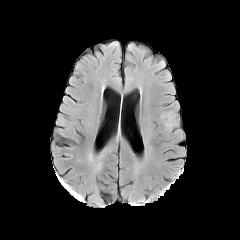
FLAIR magnetic resonance.
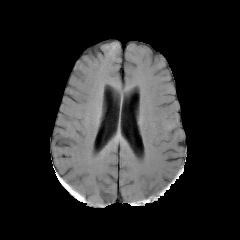
T1-weighted magnetic resonance of the same slice.
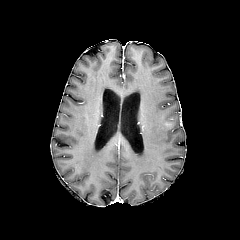
Post-contrast T1-weighted magnetic resonance.
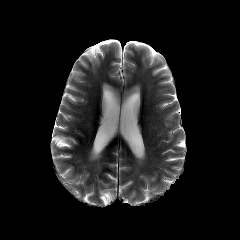
T2-weighted MR.
240x240. Head.
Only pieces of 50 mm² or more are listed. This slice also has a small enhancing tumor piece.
peritumoral edema: box=[160, 110, 178, 132]